FLAIR MRI.
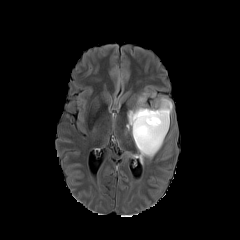
T1-weighted MRI.
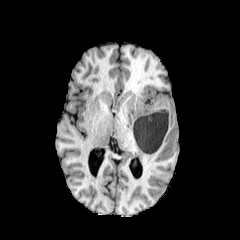
Post-contrast T1-weighted MR image.
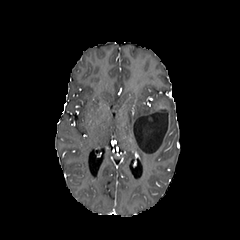
T2-weighted MRI.
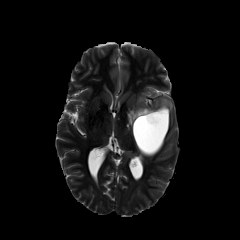
Axial plane
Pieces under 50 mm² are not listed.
The largest peritumoral edema region is located at rect(126, 92, 172, 163).